FLAIR MR.
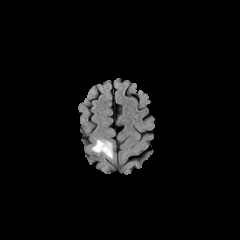
T1-weighted magnetic resonance.
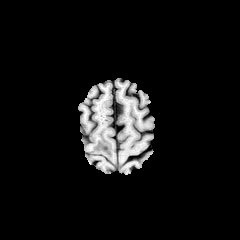
Post-contrast T1-weighted MR.
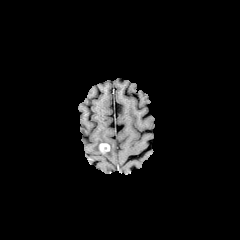
T2-weighted MR.
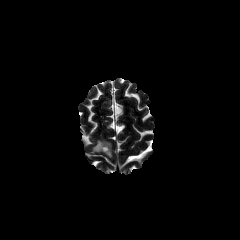
240x240 px
* peritumoral edema: bbox=[91, 139, 113, 158]
* enhancing tumor: bbox=[99, 143, 109, 152]